FLAIR MRI.
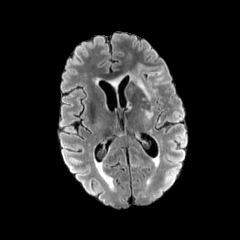
T1-weighted MR.
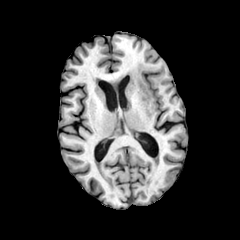
Post-contrast T1-weighted MR.
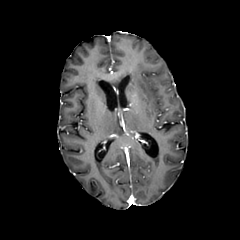
T2-weighted MR image.
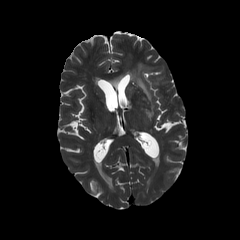
Head.
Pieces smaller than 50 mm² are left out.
peritumoral edema at (x1=127, y1=64, x2=151, y2=100)